FLAIR MRI.
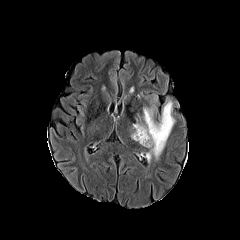
T1-weighted MRI.
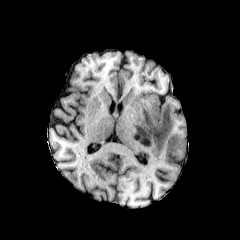
Post-contrast T1-weighted magnetic resonance.
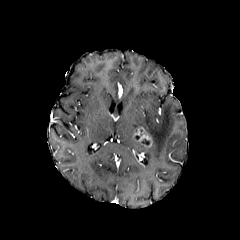
T2-weighted MR.
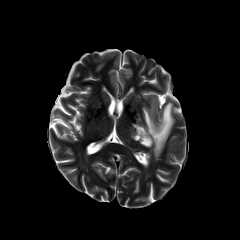
Axial slice.
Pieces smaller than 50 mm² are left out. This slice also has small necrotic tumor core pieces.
<segmentation>
  <enhancing_tumor>x1=133, y1=126, x2=152, y2=147</enhancing_tumor>
  <peritumoral_edema>x1=133, y1=95, x2=174, y2=162</peritumoral_edema>
</segmentation>